Head.
FLAIR magnetic resonance.
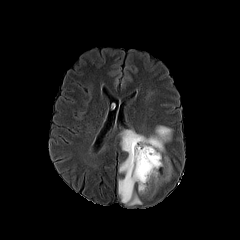
T1-weighted magnetic resonance.
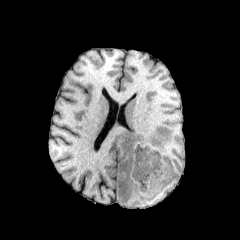
Post-contrast T1-weighted MR image.
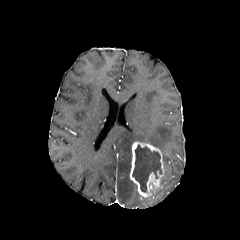
T2-weighted MR image.
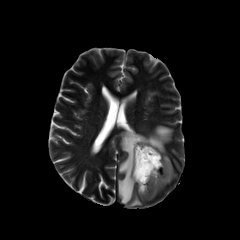
peritumoral_edema:
  - x1=118 y1=125 x2=172 y2=205
  - x1=159 y1=156 x2=171 y2=188
necrotic_tumor_core:
  - x1=132 y1=145 x2=161 y2=191
enhancing_tumor:
  - x1=129 y1=141 x2=163 y2=197